Brain, Image size 240x240, Image width 240 mm, 1.00 mm slice spacing
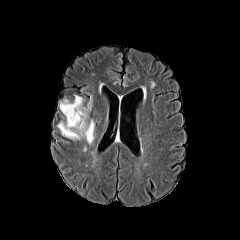
FLAIR MR.
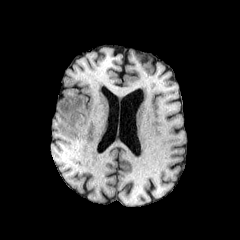
T1-weighted MR.
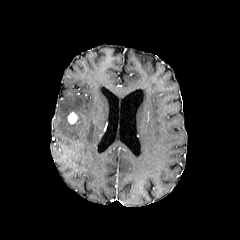
Post-contrast T1-weighted magnetic resonance of the same slice.
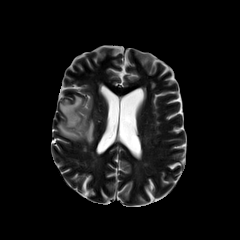
T2-weighted MR of the same slice.
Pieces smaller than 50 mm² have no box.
enhancing tumor at rect(68, 112, 77, 123)
peritumoral edema at rect(57, 95, 94, 144)